FLAIR magnetic resonance.
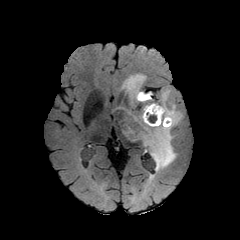
T1-weighted MR image.
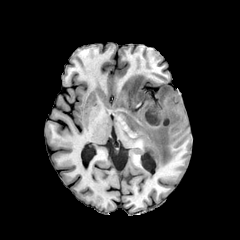
Post-contrast T1-weighted MR image.
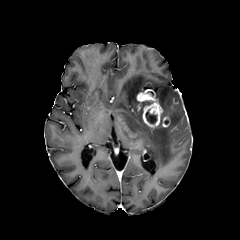
T2-weighted MR.
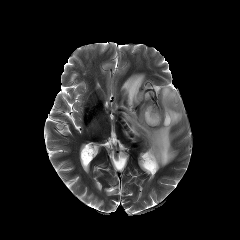
Axial view, Brain
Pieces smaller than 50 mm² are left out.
2 enhancing tumor regions appear at x1=137, y1=92, x2=162, y2=128; x1=162, y1=115, x2=170, y2=127. The 2 largest peritumoral edema regions appear at x1=122, y1=87, x2=182, y2=171; x1=121, y1=74, x2=145, y2=105. The largest necrotic tumor core region is located at x1=145, y1=109, x2=156, y2=123.